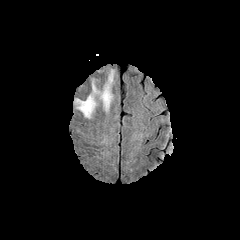
FLAIR MR.
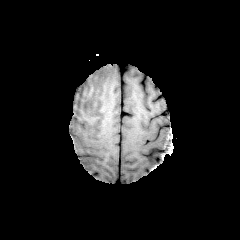
T1-weighted MRI.
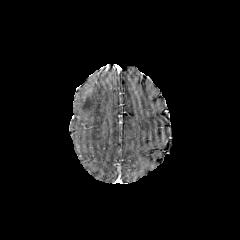
Post-contrast T1-weighted MR image.
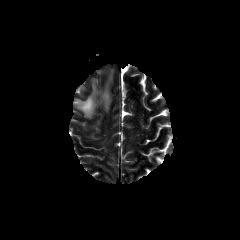
T2-weighted MR.
The peritumoral edema lies within [x1=74, y1=70, x2=113, y2=118].